Axial view | Slice 62 of 155
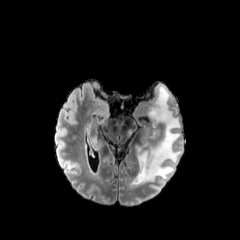
FLAIR magnetic resonance.
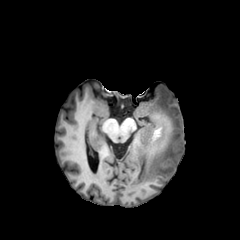
T1-weighted MRI.
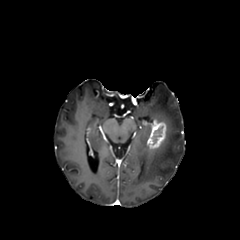
Post-contrast T1-weighted MR of the same slice.
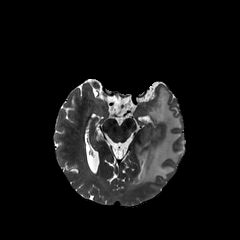
T2-weighted MRI.
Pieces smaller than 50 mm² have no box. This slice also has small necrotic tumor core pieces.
enhancing tumor — rect(147, 119, 168, 149)
peritumoral edema — rect(131, 85, 182, 185)